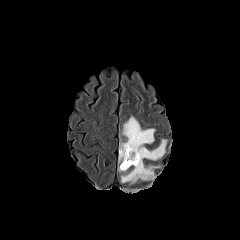
FLAIR MR image.
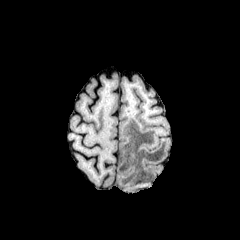
T1-weighted MR.
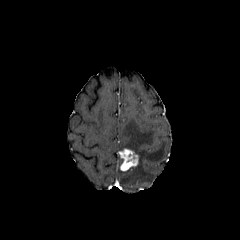
Post-contrast T1-weighted MR.
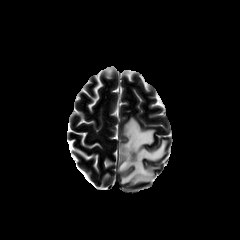
T2-weighted MRI of the same slice.
Image size 240x240
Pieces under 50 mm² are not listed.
peritumoral_edema:
  - box(118, 116, 167, 183)
enhancing_tumor:
  - box(119, 148, 138, 171)